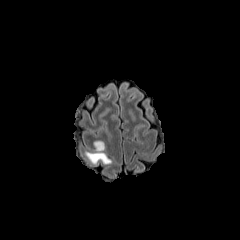
FLAIR MRI.
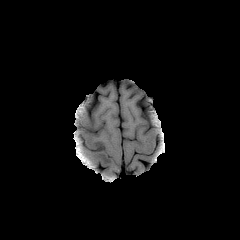
T1-weighted magnetic resonance.
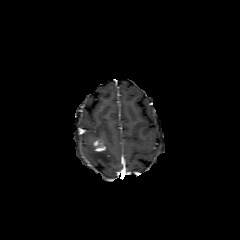
Post-contrast T1-weighted magnetic resonance.
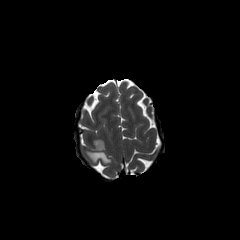
T2-weighted MR image of the same slice.
Head. Axial plane.
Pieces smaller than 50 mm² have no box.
The largest peritumoral edema region is at l=84, t=148, r=112, b=164. The enhancing tumor is bounded by l=94, t=140, r=105, b=151.